Image width 240 mm | 240x240 px
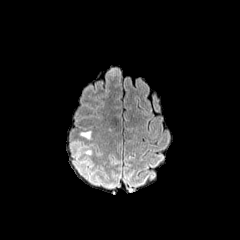
FLAIR MR.
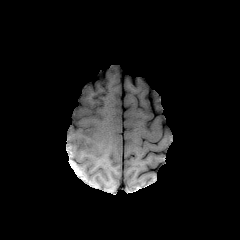
T1-weighted magnetic resonance.
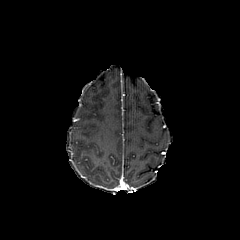
Same slice, post-contrast T1-weighted MR image.
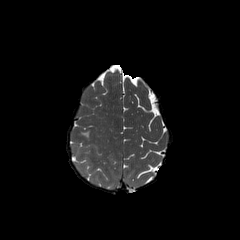
Same slice, T2-weighted MR image.
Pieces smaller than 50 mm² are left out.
peritumoral edema: box=[80, 131, 91, 138]